Axial plane, Head
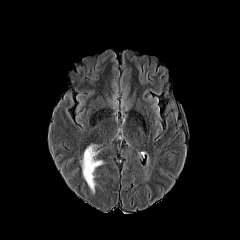
FLAIR MRI.
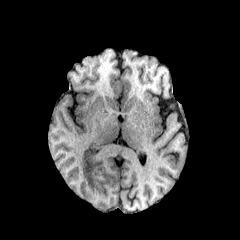
T1-weighted MR image.
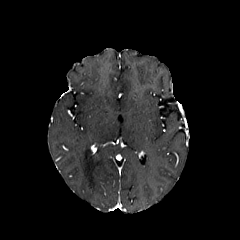
Same slice, post-contrast T1-weighted magnetic resonance.
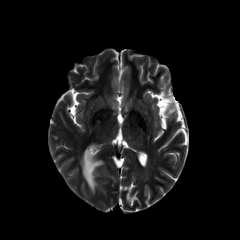
T2-weighted magnetic resonance of the same slice.
peritumoral edema = [81,147,102,192]